Image size 240x240, Axial plane
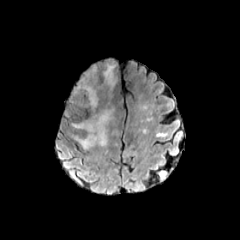
FLAIR MRI.
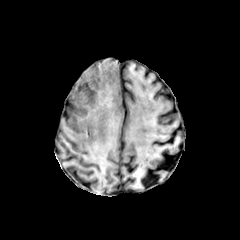
T1-weighted MRI of the same slice.
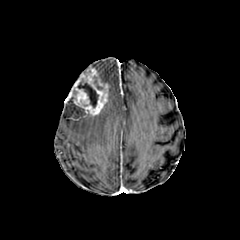
Post-contrast T1-weighted MR.
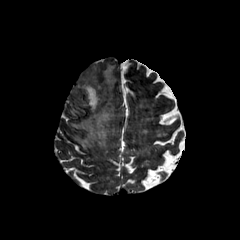
Same slice, T2-weighted MR.
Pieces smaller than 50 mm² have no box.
Segmented structures:
• enhancing tumor: bbox(69, 68, 108, 116)
• peritumoral edema: bbox(103, 64, 115, 90); bbox(72, 109, 113, 149)
• necrotic tumor core: bbox(77, 80, 98, 107)